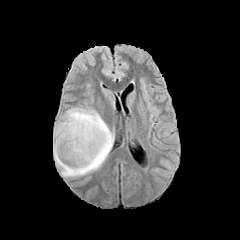
FLAIR MR image.
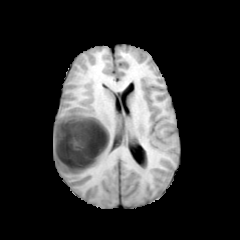
Same slice, T1-weighted MRI.
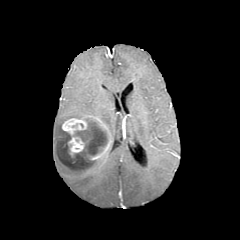
Post-contrast T1-weighted magnetic resonance.
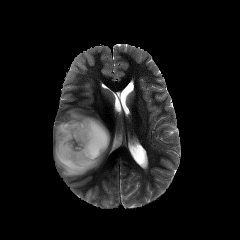
T2-weighted MR of the same slice.
Head | Axial view
The necrotic tumor core lies within 73 118 107 155. The enhancing tumor is located at 62 116 109 160. The peritumoral edema is at 53 107 114 177.